Brain
FLAIR magnetic resonance.
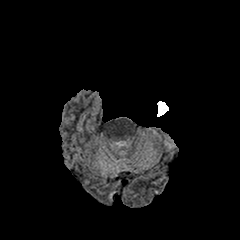
T1-weighted magnetic resonance.
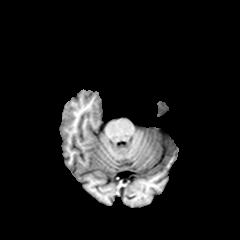
Post-contrast T1-weighted MR.
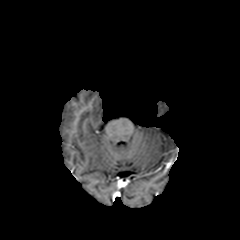
T2-weighted MR image.
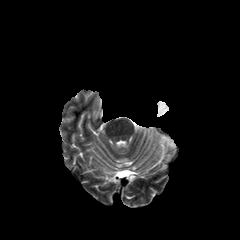
The peritumoral edema is located at 157:101:168:116.